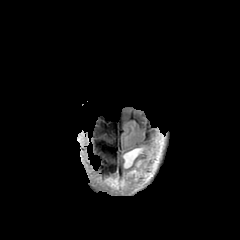
FLAIR MR.
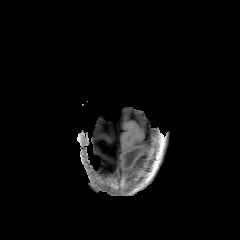
T1-weighted MR.
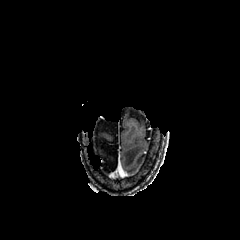
Post-contrast T1-weighted MR of the same slice.
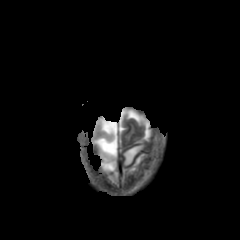
T2-weighted MRI.
Axial view
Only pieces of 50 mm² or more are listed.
- peritumoral edema: [x1=123, y1=145, x2=144, y2=168], [x1=127, y1=159, x2=141, y2=175]